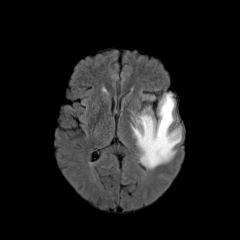
FLAIR MR.
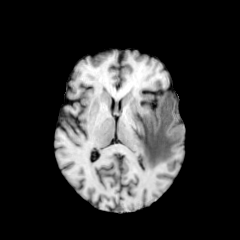
T1-weighted MR image of the same slice.
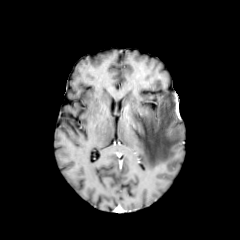
Post-contrast T1-weighted MR.
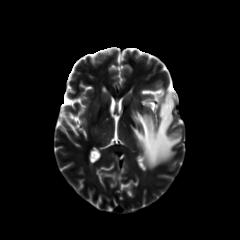
T2-weighted MRI of the same slice.
Image size 240x240
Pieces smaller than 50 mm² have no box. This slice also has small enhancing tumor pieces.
{"peritumoral_edema": ["(132, 94, 182, 166)"]}